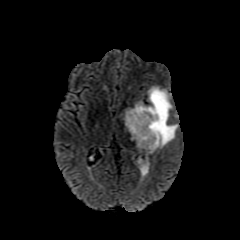
FLAIR MR image.
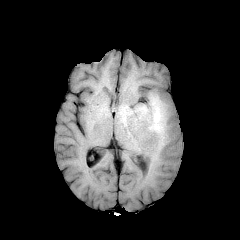
T1-weighted magnetic resonance.
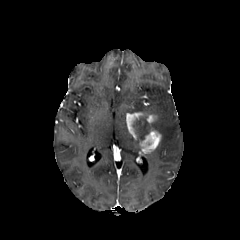
Post-contrast T1-weighted MR.
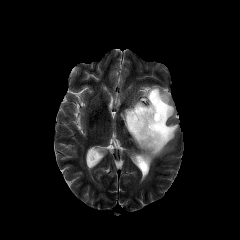
T2-weighted MR.
Axial view | Head
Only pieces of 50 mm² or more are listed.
peritumoral edema = x1=123 y1=86 x2=178 y2=154
enhancing tumor = x1=126 y1=112 x2=157 y2=139, x1=139 y1=129 x2=161 y2=153